240x240 | Brain
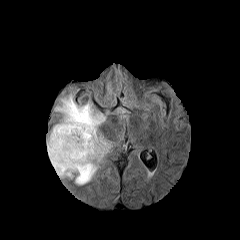
FLAIR MR.
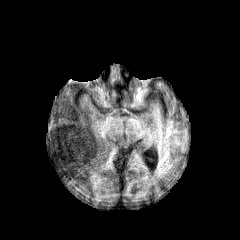
T1-weighted magnetic resonance of the same slice.
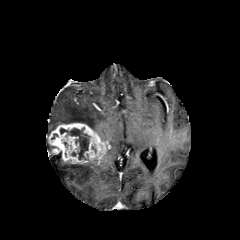
Post-contrast T1-weighted MRI of the same slice.
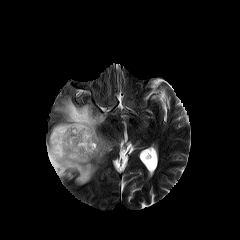
T2-weighted MR.
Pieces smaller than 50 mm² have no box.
{
  "necrotic_tumor_core": [
    "60, 128, 89, 159"
  ],
  "enhancing_tumor": [
    "47, 123, 110, 164"
  ],
  "peritumoral_edema": [
    "49, 156, 98, 185",
    "52, 95, 106, 140"
  ]
}